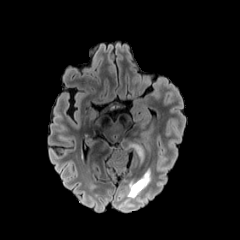
FLAIR magnetic resonance.
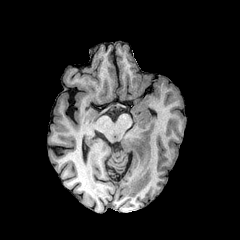
T1-weighted MR.
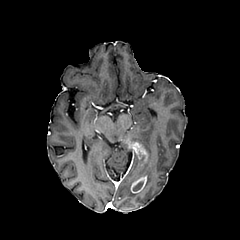
Post-contrast T1-weighted MR image.
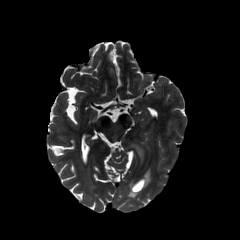
T2-weighted MR of the same slice.
Head | Axial slice
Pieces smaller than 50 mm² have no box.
2 enhancing tumor regions are bounded by 125 139 148 161, 131 174 146 192. The 2 largest peritumoral edema regions appear at 141 168 150 186, 128 177 138 197. The necrotic tumor core is located at 133 182 143 190.